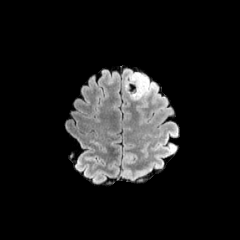
FLAIR magnetic resonance.
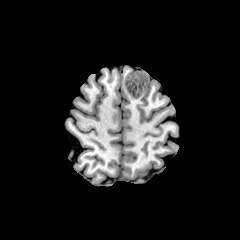
T1-weighted magnetic resonance.
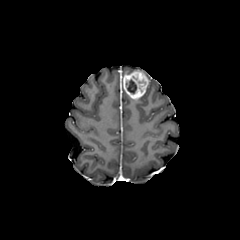
Post-contrast T1-weighted MR image.
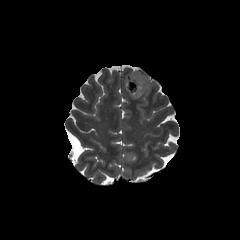
T2-weighted magnetic resonance.
Axial view
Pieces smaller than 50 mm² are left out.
peritumoral edema: bbox(143, 82, 155, 95)
necrotic tumor core: bbox(126, 79, 136, 93)
enhancing tumor: bbox(123, 72, 148, 99)